FLAIR magnetic resonance.
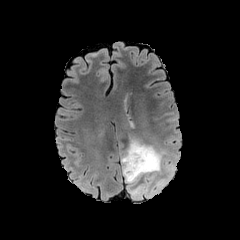
T1-weighted MRI.
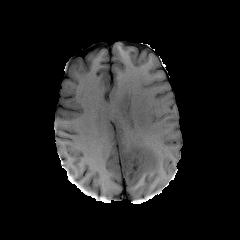
Post-contrast T1-weighted MR image.
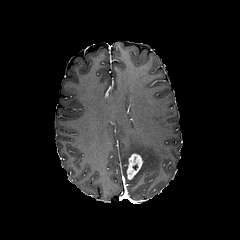
T2-weighted MR.
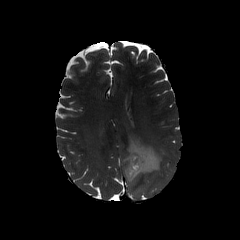
Brain
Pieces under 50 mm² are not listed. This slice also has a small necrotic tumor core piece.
peritumoral edema: [121,137,165,196]
enhancing tumor: [126,153,143,179]